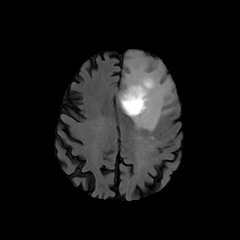
FLAIR magnetic resonance.
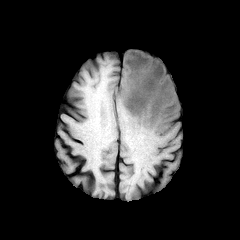
T1-weighted magnetic resonance of the same slice.
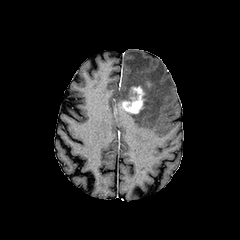
Post-contrast T1-weighted MR image.
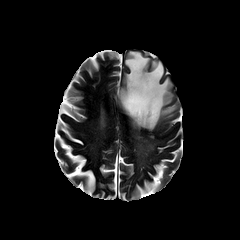
T2-weighted MR.
Head
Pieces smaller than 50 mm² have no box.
peritumoral edema — [x1=118, y1=51, x2=173, y2=130]
enhancing tumor — [x1=122, y1=86, x2=144, y2=113]